Brain
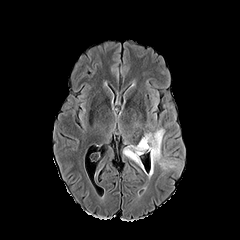
FLAIR magnetic resonance.
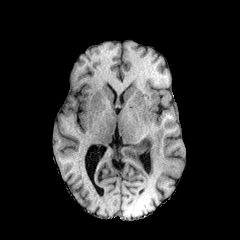
Same slice, T1-weighted MR.
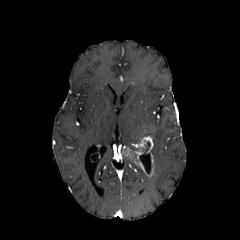
Post-contrast T1-weighted MRI.
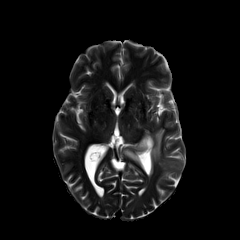
T2-weighted MR.
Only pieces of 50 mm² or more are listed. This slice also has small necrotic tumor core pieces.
peritumoral edema — <box>145,128,165,168</box>
enhancing tumor — <box>124,136,153,168</box>